Axial plane; Brain; Slice 82/155; 240x240 px
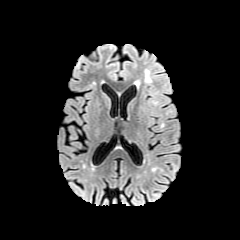
FLAIR magnetic resonance.
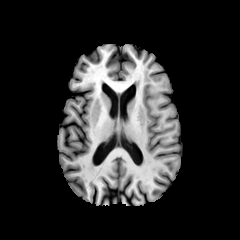
T1-weighted MRI of the same slice.
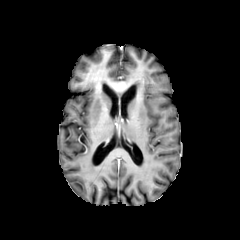
Post-contrast T1-weighted magnetic resonance of the same slice.
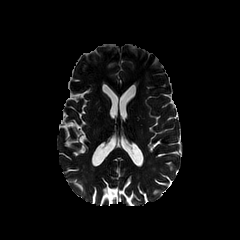
T2-weighted MRI of the same slice.
The peritumoral edema lies within {"x1": 144, "y1": 68, "x2": 153, "y2": 82}.